Slice 96/155, Image size 240x240
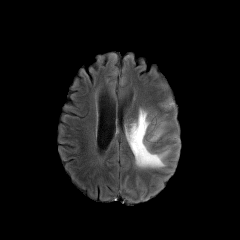
FLAIR magnetic resonance.
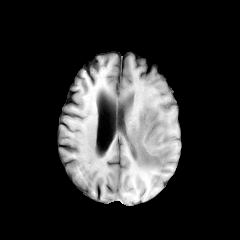
T1-weighted MRI.
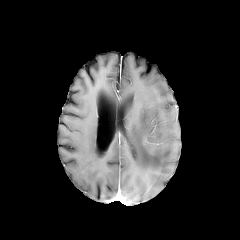
Post-contrast T1-weighted magnetic resonance of the same slice.
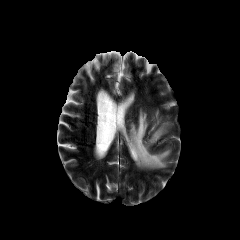
T2-weighted MR of the same slice.
• peritumoral edema: box(126, 109, 169, 168); box(149, 124, 163, 142)